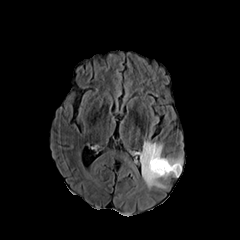
FLAIR MR image.
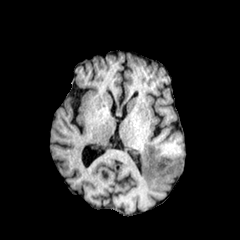
T1-weighted magnetic resonance.
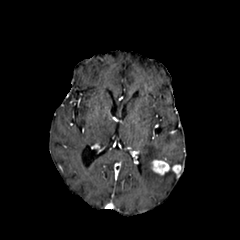
Post-contrast T1-weighted MR of the same slice.
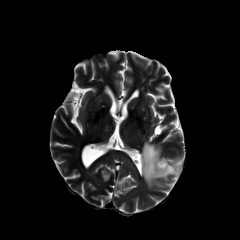
T2-weighted MR image.
Brain
Annotated regions:
• peritumoral edema: 139 141 176 188, 168 157 182 166
• enhancing tumor: 151 159 181 176